Axial plane.
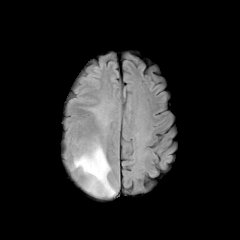
FLAIR MR.
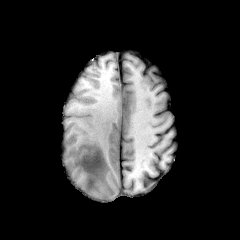
Same slice, T1-weighted magnetic resonance.
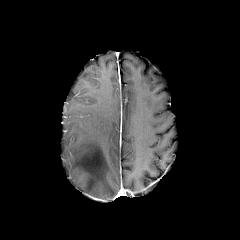
Post-contrast T1-weighted magnetic resonance.
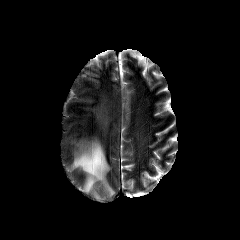
T2-weighted MR image of the same slice.
- peritumoral edema: 71:140:115:196